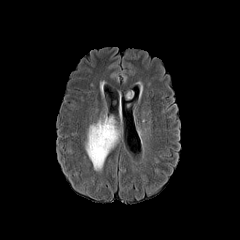
FLAIR MRI.
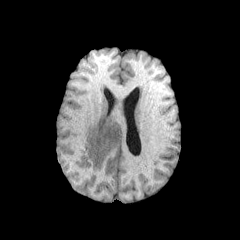
T1-weighted MR of the same slice.
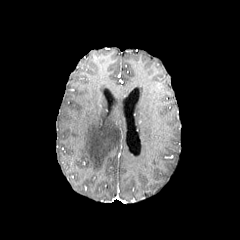
Same slice, post-contrast T1-weighted magnetic resonance.
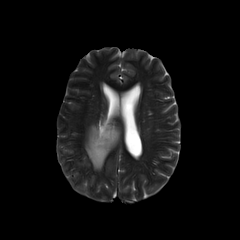
Same slice, T2-weighted MR image.
Head
The peritumoral edema lies within <box>85,115,120,170</box>.